FLAIR MRI.
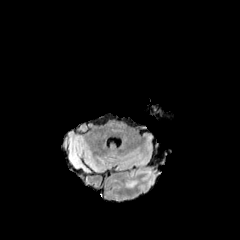
T1-weighted MR image.
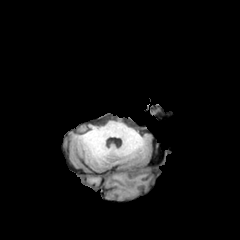
Post-contrast T1-weighted MR image.
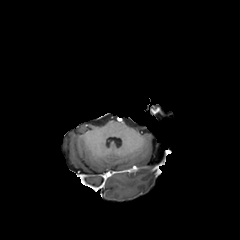
T2-weighted MR.
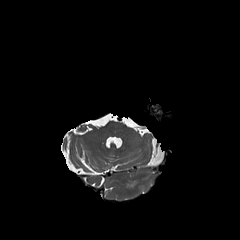
Axial plane; 240x240
{
  "peritumoral_edema": [
    "126:181:137:187"
  ]
}